Image width 240 mm, Image size 240x240, Slice index 93
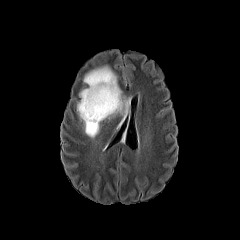
FLAIR MR image.
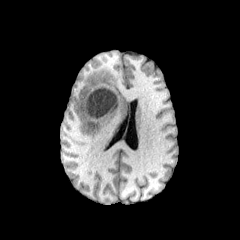
T1-weighted MRI.
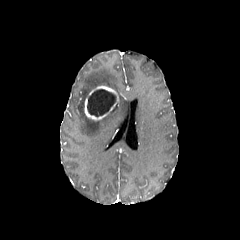
Post-contrast T1-weighted magnetic resonance.
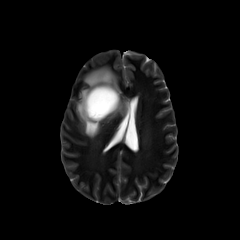
Same slice, T2-weighted MRI.
{
  "enhancing_tumor": [
    "84,85,119,120"
  ],
  "peritumoral_edema": [
    "75,63,130,139"
  ],
  "necrotic_tumor_core": [
    "87,89,116,117"
  ]
}